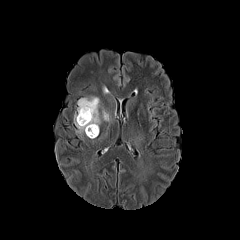
FLAIR MRI.
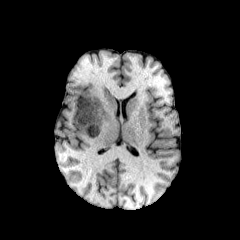
Same slice, T1-weighted magnetic resonance.
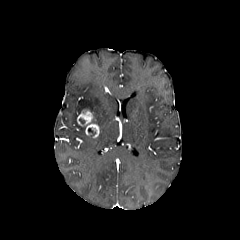
Post-contrast T1-weighted MR.
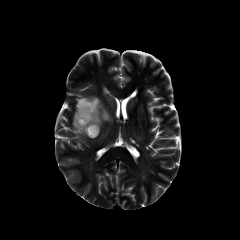
Same slice, T2-weighted magnetic resonance.
Head
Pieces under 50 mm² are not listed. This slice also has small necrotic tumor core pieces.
<segmentation>
  <enhancing_tumor>l=77, t=109, r=99, b=137</enhancing_tumor>
  <peritumoral_edema>l=73, t=96, r=110, b=135</peritumoral_edema>
</segmentation>